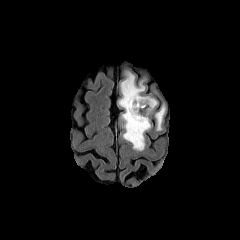
FLAIR MRI.
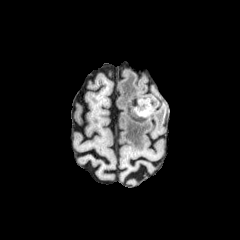
T1-weighted magnetic resonance.
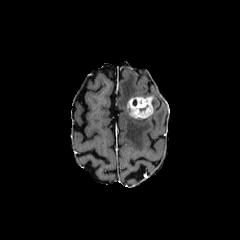
Same slice, post-contrast T1-weighted magnetic resonance.
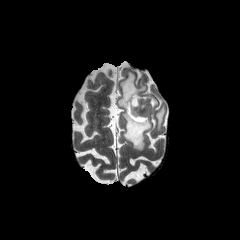
Same slice, T2-weighted MR image.
Axial view; Brain
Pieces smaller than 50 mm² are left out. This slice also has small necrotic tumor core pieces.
<segmentation>
  <peritumoral_edema>118,72,150,150; 155,106,164,130</peritumoral_edema>
  <enhancing_tumor>127,96,153,119</enhancing_tumor>
</segmentation>